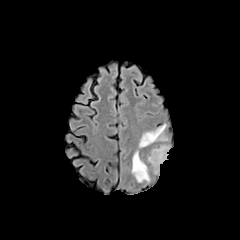
FLAIR MR image.
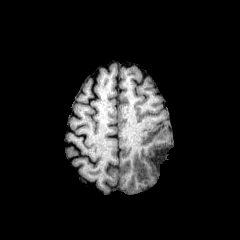
Same slice, T1-weighted MR.
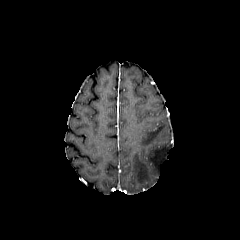
Post-contrast T1-weighted MR image.
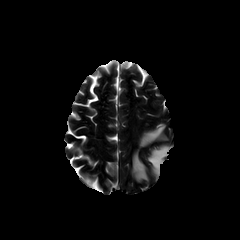
T2-weighted MRI of the same slice.
Head. Axial slice.
peritumoral edema: bounding box [132, 151, 149, 182], [139, 124, 167, 147], [148, 145, 169, 173]